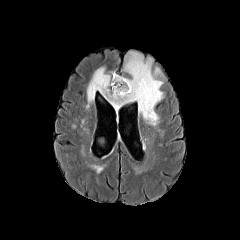
FLAIR MR image.
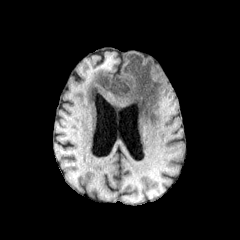
T1-weighted magnetic resonance of the same slice.
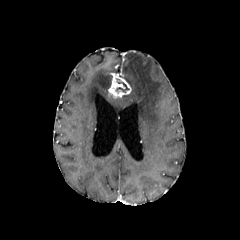
Post-contrast T1-weighted MR of the same slice.
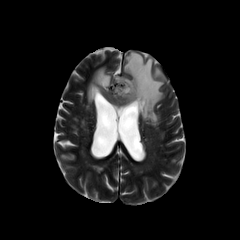
Same slice, T2-weighted MRI.
Brain | Image size 240x240
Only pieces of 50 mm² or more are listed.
Annotated regions:
• enhancing tumor: left=108, top=73, right=131, bottom=98
• peritumoral edema: left=87, top=52, right=163, bottom=126
• necrotic tumor core: left=116, top=82, right=129, bottom=92